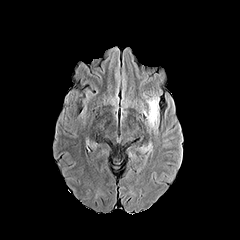
FLAIR MR.
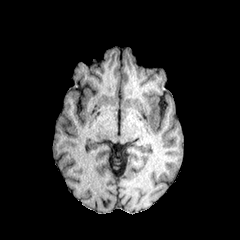
T1-weighted MRI of the same slice.
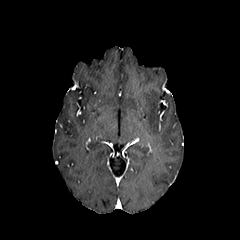
Post-contrast T1-weighted magnetic resonance.
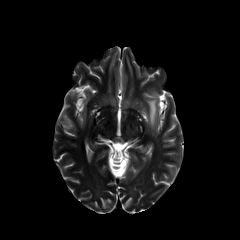
T2-weighted MR.
Axial view
<segmentation>
  <peritumoral_edema>(x1=144, y1=98, x2=158, y2=126)</peritumoral_edema>
</segmentation>